FLAIR MRI.
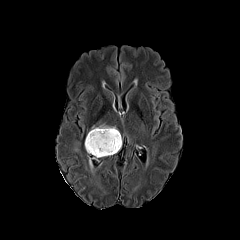
T1-weighted MRI.
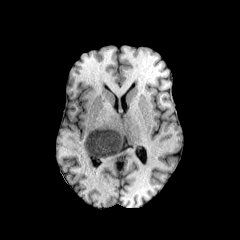
Post-contrast T1-weighted MRI.
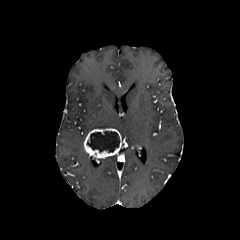
T2-weighted MRI.
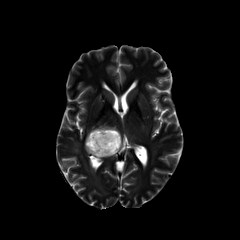
Image size 240x240 | Head
Annotated regions:
* peritumoral edema: box(91, 123, 117, 130); box(73, 141, 80, 151)
* enhancing tumor: box(84, 128, 121, 158)
* necrotic tumor core: box(86, 131, 119, 152)